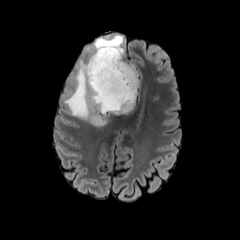
FLAIR MR image.
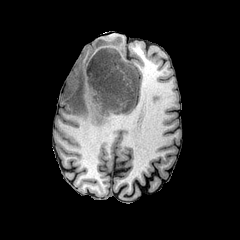
Same slice, T1-weighted MR image.
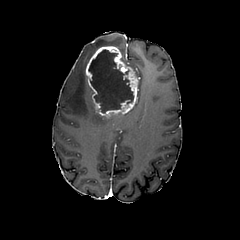
Post-contrast T1-weighted magnetic resonance.
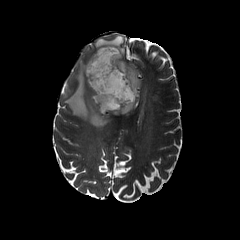
T2-weighted MRI of the same slice.
240x240 px
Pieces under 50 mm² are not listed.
The largest enhancing tumor region is bounded by 85 46 138 116. The 2 largest peritumoral edema regions are located at 64 35 124 128, 124 62 139 78. The largest necrotic tumor core region is at 88 49 133 113.